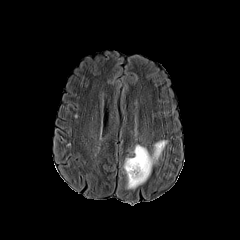
FLAIR MR image.
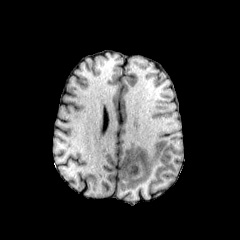
T1-weighted MR image.
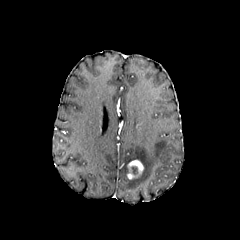
Post-contrast T1-weighted magnetic resonance.
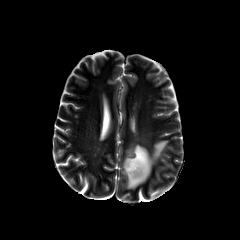
Same slice, T2-weighted MR image.
Image size 240x240.
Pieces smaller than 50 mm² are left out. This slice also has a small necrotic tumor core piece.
The peritumoral edema appears at region(122, 140, 168, 189). The enhancing tumor is bounded by region(126, 160, 143, 179).